FLAIR MRI.
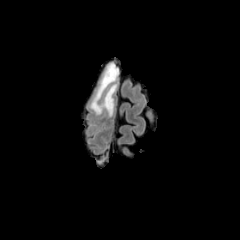
T1-weighted MR image.
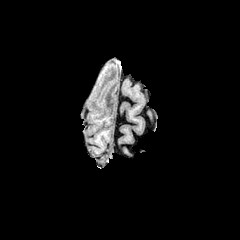
Post-contrast T1-weighted MR.
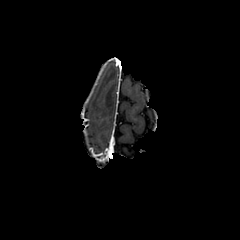
T2-weighted MR.
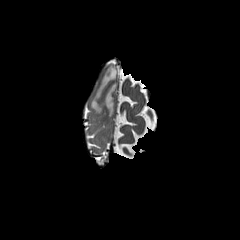
Head
peritumoral edema: bbox=[90, 62, 119, 116]